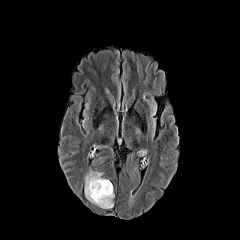
FLAIR MRI.
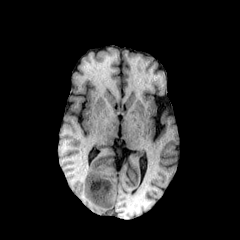
T1-weighted MR.
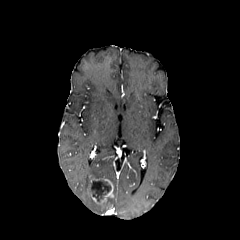
Post-contrast T1-weighted MR image of the same slice.
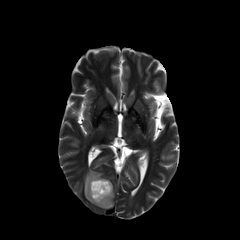
T2-weighted magnetic resonance of the same slice.
Axial plane. Head. 240x240 px.
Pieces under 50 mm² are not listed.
peritumoral edema — bbox=[84, 170, 113, 208]
enhancing tumor — bbox=[87, 176, 113, 207]
necrotic tumor core — bbox=[91, 180, 111, 201]